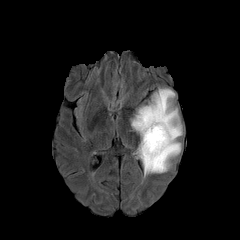
FLAIR MR image.
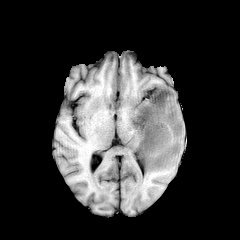
T1-weighted MR image.
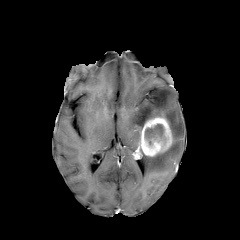
Same slice, post-contrast T1-weighted MR image.
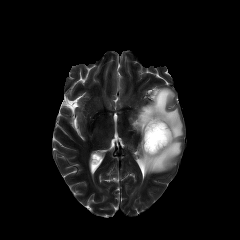
T2-weighted MR of the same slice.
Head. Axial plane. 240x240 px.
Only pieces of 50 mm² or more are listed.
enhancing tumor — (135, 112, 172, 157)
peritumoral edema — (131, 87, 183, 175)
necrotic tumor core — (145, 124, 163, 138)